Head. Axial slice. 240x240.
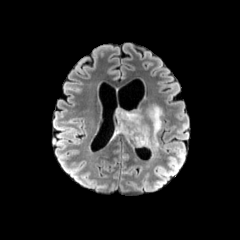
FLAIR magnetic resonance.
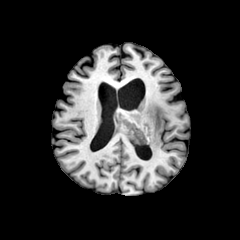
T1-weighted MR image.
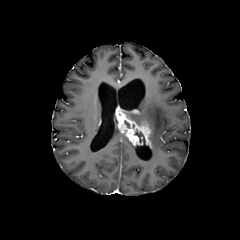
Same slice, post-contrast T1-weighted magnetic resonance.
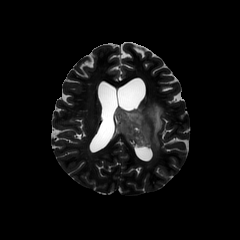
Same slice, T2-weighted MRI.
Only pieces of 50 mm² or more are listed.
<segmentation>
  <peritumoral_edema>rect(147, 105, 163, 150); rect(127, 113, 144, 124)</peritumoral_edema>
  <necrotic_tumor_core>rect(135, 131, 145, 143)</necrotic_tumor_core>
  <enhancing_tumor>rect(115, 108, 151, 147)</enhancing_tumor>
</segmentation>